FLAIR magnetic resonance.
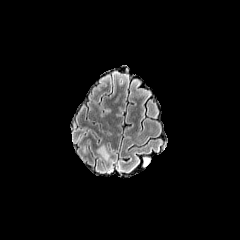
T1-weighted magnetic resonance.
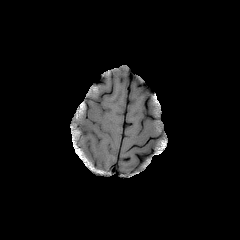
Post-contrast T1-weighted MR.
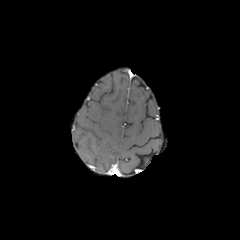
T2-weighted MR image.
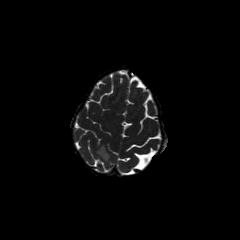
Image size 240x240; Head
peritumoral edema — (97,145,109,159)